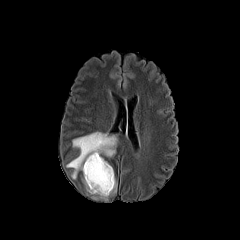
FLAIR MR image.
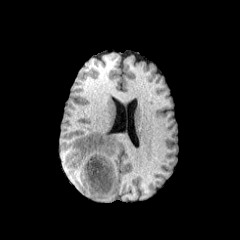
Same slice, T1-weighted MR image.
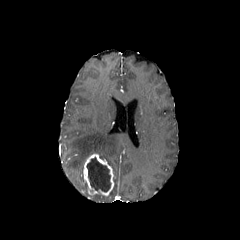
Same slice, post-contrast T1-weighted MRI.
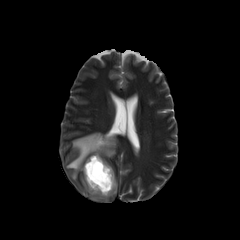
T2-weighted MR image.
Brain.
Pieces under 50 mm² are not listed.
<segmentation>
  <enhancing_tumor>[83,153,114,196]</enhancing_tumor>
  <necrotic_tumor_core>[87,157,110,191]</necrotic_tumor_core>
  <peritumoral_edema>[66,132,117,179], [109,178,116,195]</peritumoral_edema>
</segmentation>